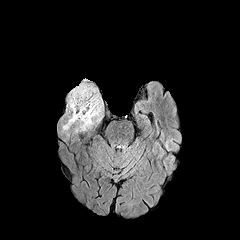
FLAIR magnetic resonance.
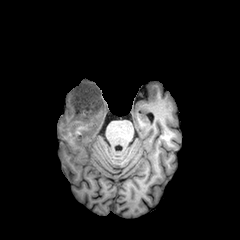
Same slice, T1-weighted MRI.
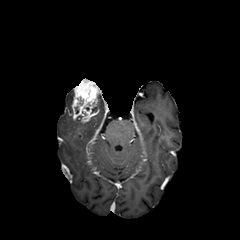
Post-contrast T1-weighted MR image of the same slice.
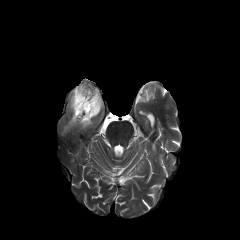
Same slice, T2-weighted MR image.
Brain | Axial plane
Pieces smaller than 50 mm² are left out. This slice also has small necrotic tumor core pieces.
peritumoral edema: bounding box (left=63, top=95, right=103, bottom=130), (left=68, top=90, right=73, bottom=111)
enhancing tumor: bounding box (left=71, top=79, right=99, bottom=123)